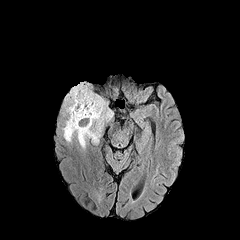
FLAIR magnetic resonance.
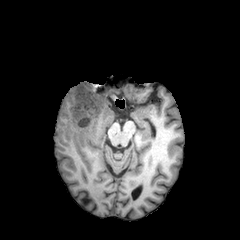
T1-weighted MR image.
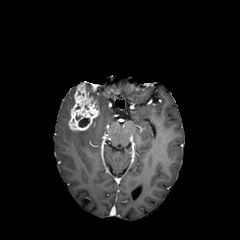
Post-contrast T1-weighted MR.
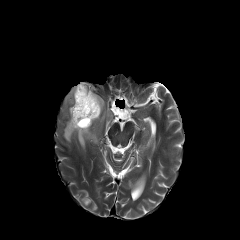
T2-weighted magnetic resonance.
Head. Axial plane. 240x240 px.
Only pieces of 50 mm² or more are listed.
Segmented structures:
* peritumoral edema: 62,84,112,148
* necrotic tumor core: 79,118,89,127
* enhancing tumor: 68,82,99,131